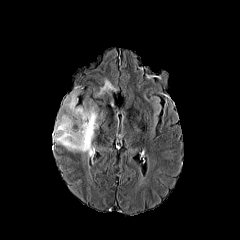
FLAIR MRI.
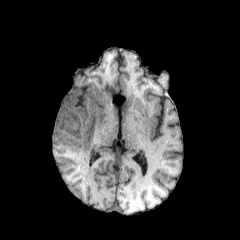
T1-weighted MR of the same slice.
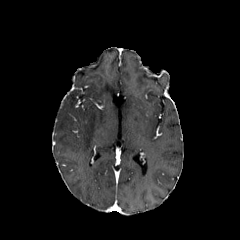
Post-contrast T1-weighted MR.
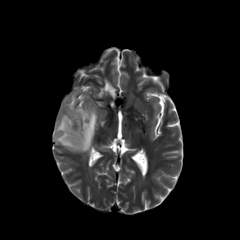
T2-weighted MR.
Head
Segmented structures:
* peritumoral edema: {"x1": 93, "y1": 78, "x2": 117, "y2": 97}, {"x1": 53, "y1": 86, "x2": 104, "y2": 158}